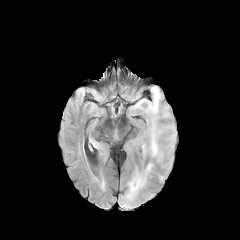
FLAIR MRI.
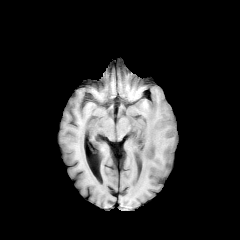
T1-weighted MR image of the same slice.
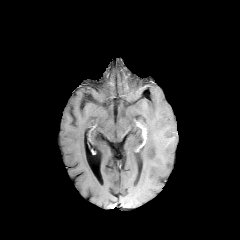
Post-contrast T1-weighted MR image.
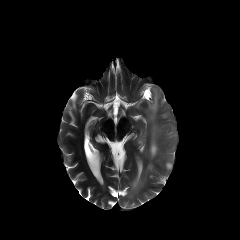
Same slice, T2-weighted MRI.
Axial slice
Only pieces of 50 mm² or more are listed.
{"peritumoral_edema": ["x1=130 y1=177 x2=142 y2=190", "x1=150 y1=121 x2=158 y2=156"]}